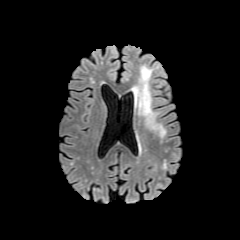
FLAIR magnetic resonance.
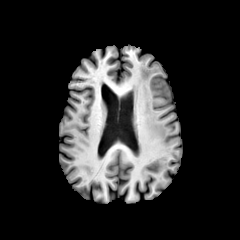
T1-weighted magnetic resonance of the same slice.
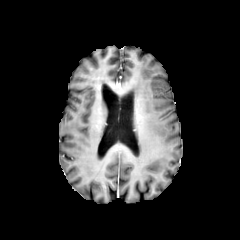
Post-contrast T1-weighted MR of the same slice.
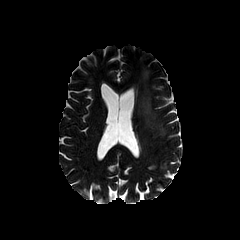
Same slice, T2-weighted MR image.
Brain | Axial view | 240x240 px
Annotated regions:
* peritumoral edema: 135:66:165:137